Image size 240x240; Image covers 240 mm x 240 mm; Slice index 54
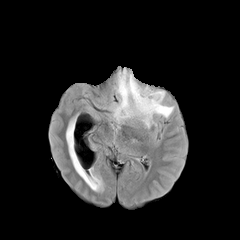
FLAIR MR.
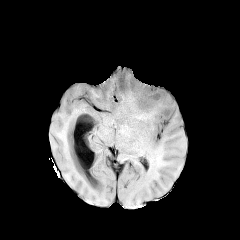
T1-weighted magnetic resonance.
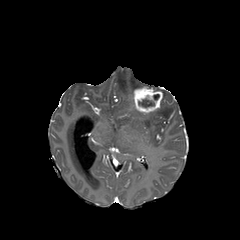
Post-contrast T1-weighted MRI.
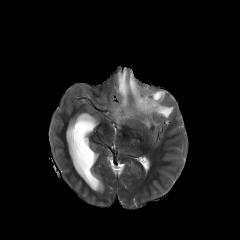
T2-weighted magnetic resonance of the same slice.
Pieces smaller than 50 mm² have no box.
Findings:
* enhancing tumor: x1=133, y1=87, x2=162, y2=113
* necrotic tumor core: x1=141, y1=99, x2=154, y2=107
* peritumoral edema: x1=112, y1=69, x2=173, y2=127